FLAIR MR image.
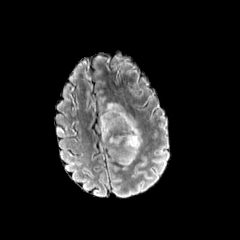
T1-weighted MR.
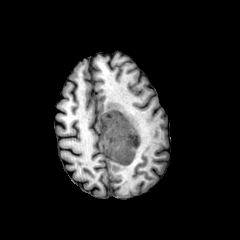
Post-contrast T1-weighted MR image.
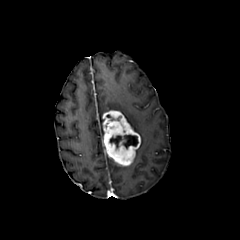
T2-weighted MR image.
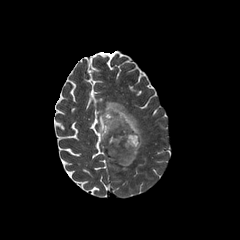
Head, 240x240, Axial slice
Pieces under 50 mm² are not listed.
Annotated regions:
* necrotic tumor core: (110, 135, 138, 148)
* peritumoral edema: (99, 102, 142, 156)
* enhancing tumor: (102, 110, 140, 166)